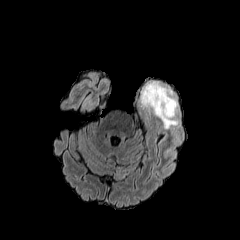
FLAIR MR.
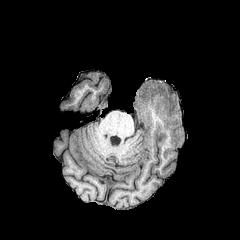
T1-weighted magnetic resonance of the same slice.
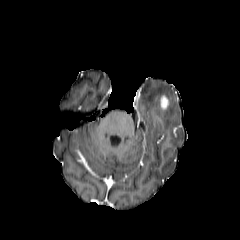
Post-contrast T1-weighted MRI of the same slice.
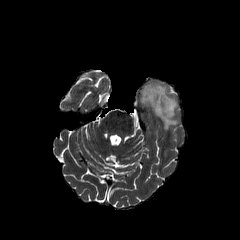
T2-weighted magnetic resonance.
Brain
peritumoral edema: bounding box box(141, 83, 178, 129)
enhancing tumor: bounding box box(160, 95, 169, 110)